FLAIR MR image.
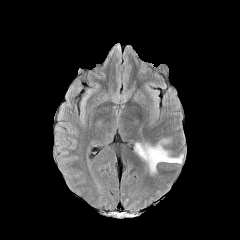
T1-weighted MR.
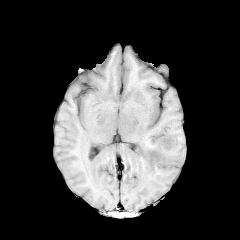
Post-contrast T1-weighted MR image.
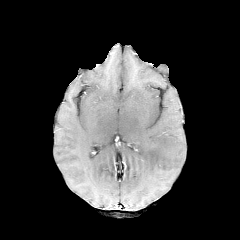
T2-weighted MR.
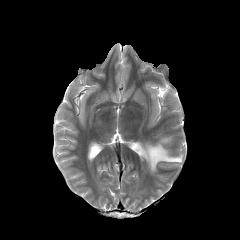
240x240
The peritumoral edema is located at (x1=135, y1=138, x2=183, y2=174).